FLAIR magnetic resonance.
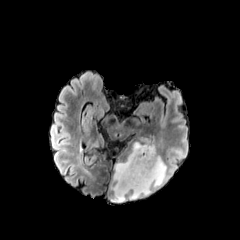
T1-weighted MR image.
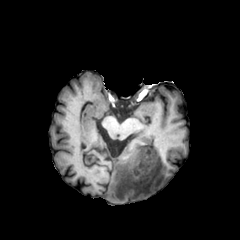
Post-contrast T1-weighted MRI.
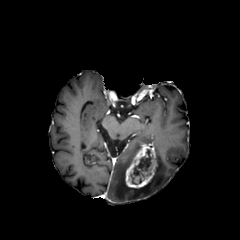
T2-weighted MRI.
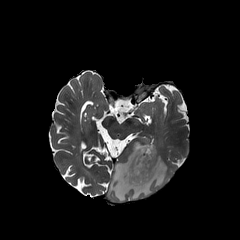
Head, 240x240, Axial slice
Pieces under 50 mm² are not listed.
The largest necrotic tumor core region is located at box=[131, 149, 152, 183]. The peritumoral edema is bounded by box=[109, 138, 167, 202]. The enhancing tumor lies within box=[125, 143, 157, 188].